240x240.
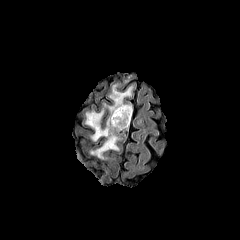
FLAIR MR image.
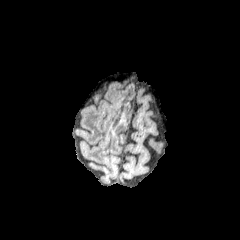
Same slice, T1-weighted magnetic resonance.
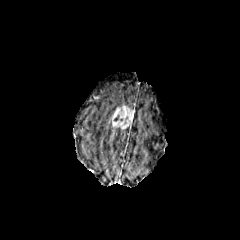
Post-contrast T1-weighted MR image.
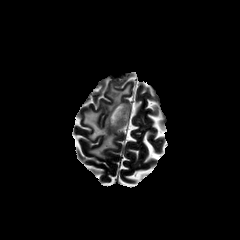
T2-weighted magnetic resonance of the same slice.
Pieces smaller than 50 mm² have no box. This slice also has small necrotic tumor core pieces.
enhancing tumor: [109, 104, 133, 134]
peritumoral edema: [85, 85, 132, 159]